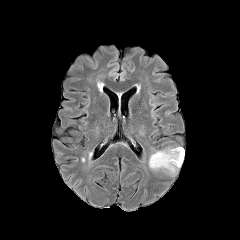
FLAIR magnetic resonance.
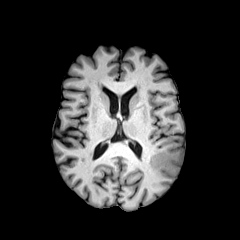
T1-weighted magnetic resonance.
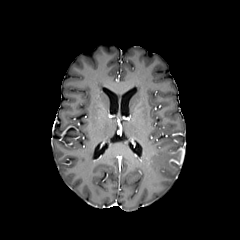
Same slice, post-contrast T1-weighted MRI.
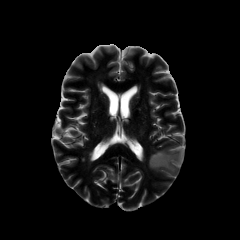
T2-weighted MRI.
Image size 240x240
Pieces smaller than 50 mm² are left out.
enhancing tumor — (169, 148, 184, 165)
peritumoral edema — (149, 146, 182, 176)